Slice index 40, Axial view, Image width 240 mm, 1.00 mm slice spacing
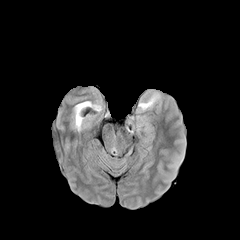
FLAIR MR.
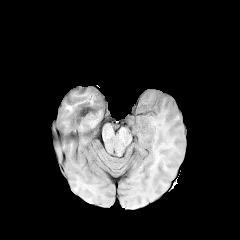
T1-weighted MR.
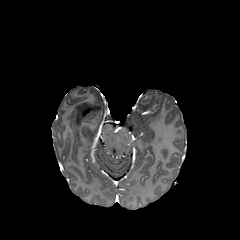
Same slice, post-contrast T1-weighted MR image.
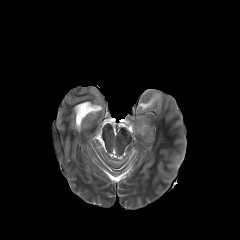
T2-weighted MR image of the same slice.
* peritumoral edema: 139 96 158 109